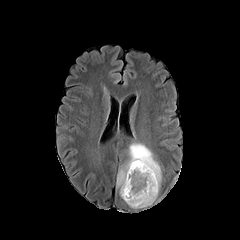
FLAIR MR image.
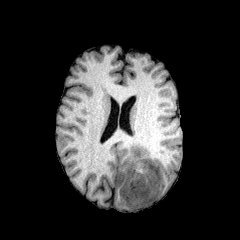
Same slice, T1-weighted MR image.
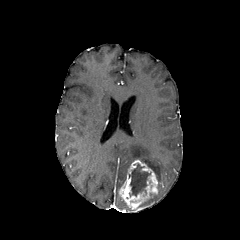
Post-contrast T1-weighted magnetic resonance.
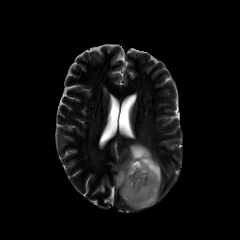
Same slice, T2-weighted MRI.
Axial plane; Brain
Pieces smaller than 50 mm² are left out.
peritumoral edema: (116, 143, 161, 189)
necrotic tumor core: (129, 163, 150, 196), (139, 195, 155, 206)
enhancing tumor: (119, 160, 158, 211)